FLAIR magnetic resonance.
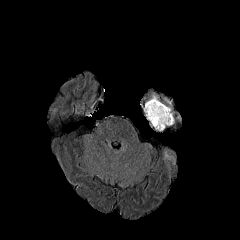
T1-weighted magnetic resonance.
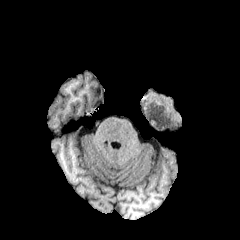
Post-contrast T1-weighted MRI.
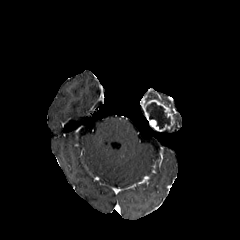
T2-weighted magnetic resonance.
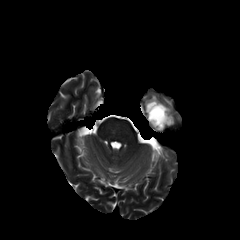
Head; Axial slice; Image size 240x240
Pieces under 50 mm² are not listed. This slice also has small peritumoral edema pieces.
enhancing tumor: bounding box x1=142, y1=99, x2=174, y2=131
necrotic tumor core: bounding box x1=146, y1=102, x2=170, y2=128